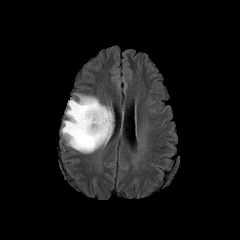
FLAIR MR.
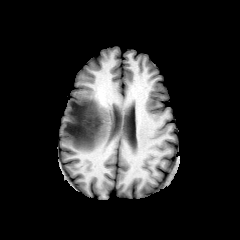
T1-weighted MR image.
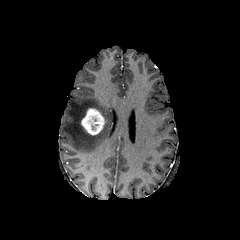
Post-contrast T1-weighted MR image of the same slice.
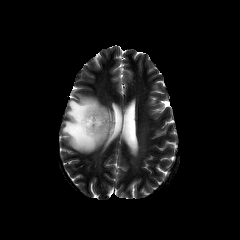
T2-weighted magnetic resonance.
Brain, 240x240
Segmented structures:
* peritumoral edema: 62:95:113:153
* enhancing tumor: 81:108:105:135